FLAIR MRI.
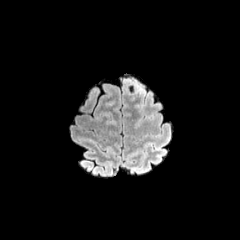
T1-weighted MR.
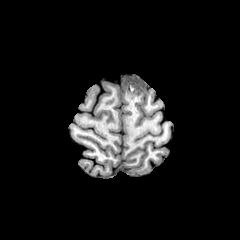
Post-contrast T1-weighted magnetic resonance.
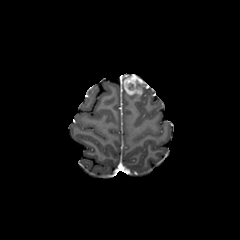
T2-weighted MR.
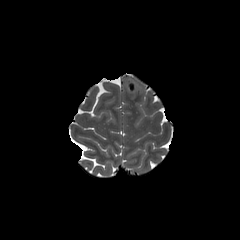
Head, 240x240
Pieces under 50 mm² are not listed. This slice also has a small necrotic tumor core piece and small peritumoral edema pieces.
enhancing tumor = box(123, 76, 143, 95)